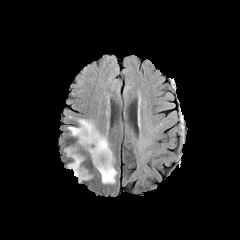
FLAIR MR image.
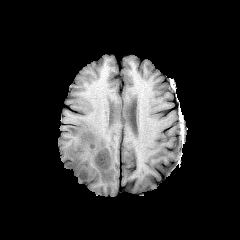
Same slice, T1-weighted MRI.
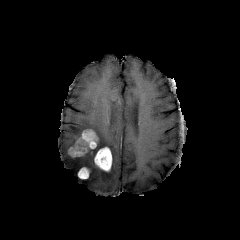
Same slice, post-contrast T1-weighted MR image.
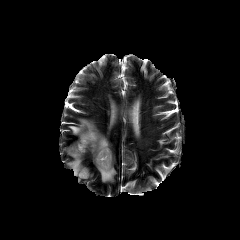
Same slice, T2-weighted magnetic resonance.
240x240 px | Axial view
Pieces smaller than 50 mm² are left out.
<segmentation>
  <enhancing_tumor>box(78, 167, 89, 179); box(68, 129, 97, 157); box(94, 147, 112, 171)</enhancing_tumor>
  <peritumoral_edema>box(68, 119, 110, 164); box(68, 156, 83, 176); box(95, 150, 116, 183)</peritumoral_edema>
</segmentation>